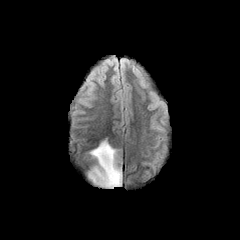
FLAIR magnetic resonance.
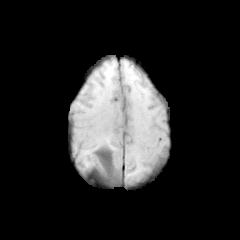
T1-weighted MR.
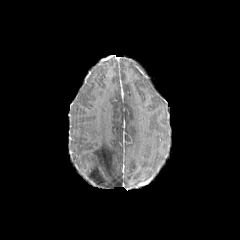
Post-contrast T1-weighted MR of the same slice.
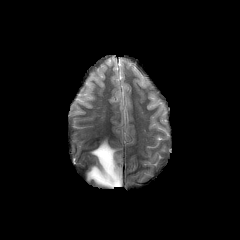
T2-weighted MRI.
Axial slice
peritumoral edema: bounding box box=[87, 140, 121, 188]